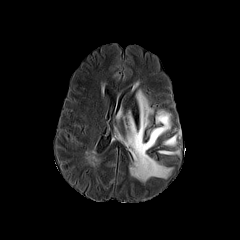
FLAIR MR image.
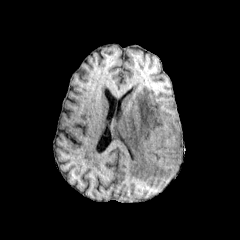
T1-weighted MR image of the same slice.
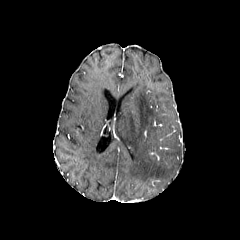
Post-contrast T1-weighted magnetic resonance.
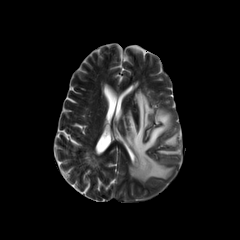
T2-weighted MR image.
Head | Axial plane
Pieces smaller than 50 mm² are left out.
peritumoral edema — x1=126, y1=90, x2=172, y2=182; x1=159, y1=149, x2=180, y2=154; x1=164, y1=134, x2=177, y2=145